Image covers 240 mm x 240 mm | Brain | Slice index 50
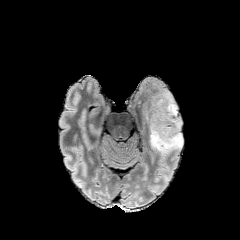
FLAIR MR.
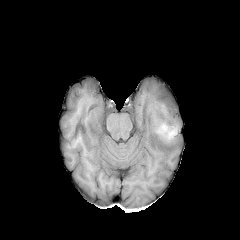
Same slice, T1-weighted magnetic resonance.
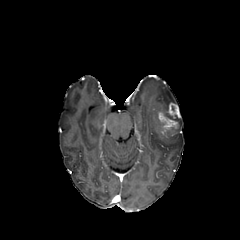
Same slice, post-contrast T1-weighted MR.
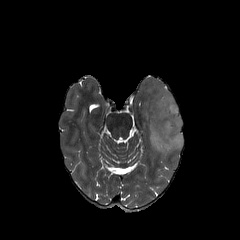
T2-weighted magnetic resonance.
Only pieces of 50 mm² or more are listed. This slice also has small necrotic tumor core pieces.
<segmentation>
  <enhancing_tumor>left=158, top=103, right=179, bottom=133</enhancing_tumor>
  <peritumoral_edema>left=142, top=90, right=183, bottom=158</peritumoral_edema>
</segmentation>